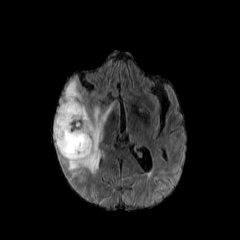
FLAIR MRI.
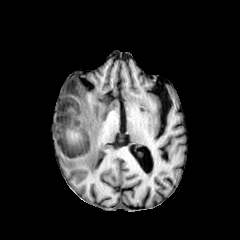
T1-weighted MR image.
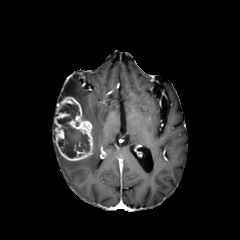
Same slice, post-contrast T1-weighted magnetic resonance.
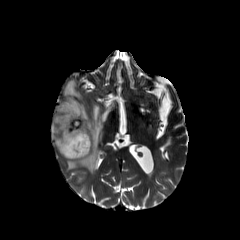
T2-weighted magnetic resonance.
240x240.
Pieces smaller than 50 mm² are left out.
Findings:
- peritumoral edema: box(63, 77, 110, 174)
- necrotic tumor core: box(57, 103, 89, 157)
- enhancing tumor: box(54, 97, 93, 160)